240x240 | Axial plane
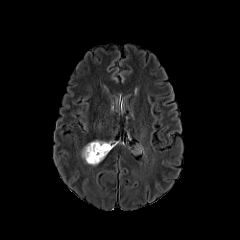
FLAIR MR.
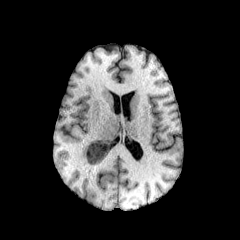
T1-weighted MRI of the same slice.
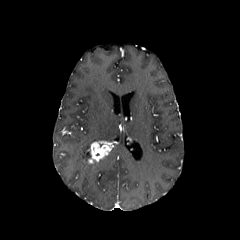
Post-contrast T1-weighted MRI.
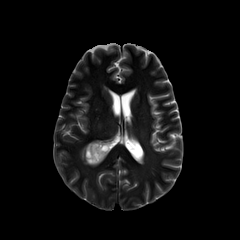
T2-weighted magnetic resonance.
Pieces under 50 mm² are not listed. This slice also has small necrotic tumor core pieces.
The largest peritumoral edema region is at bbox=[81, 142, 103, 165]. The enhancing tumor is at bbox=[88, 141, 112, 163].